Slice index 76. Axial view.
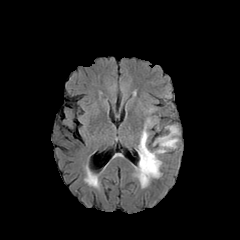
FLAIR MR.
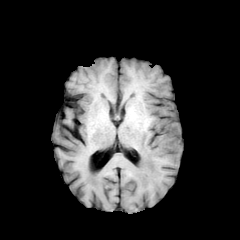
T1-weighted MRI.
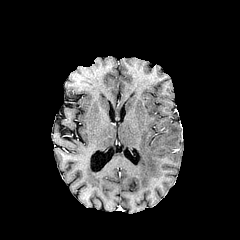
Post-contrast T1-weighted magnetic resonance.
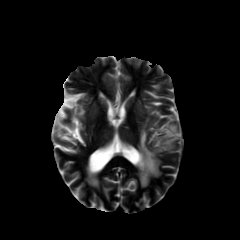
Same slice, T2-weighted MRI.
Segmented structures:
* peritumoral edema: {"x1": 137, "y1": 125, "x2": 178, "y2": 187}